FLAIR magnetic resonance.
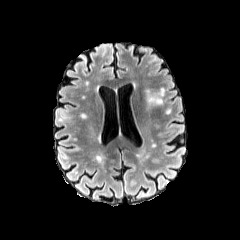
T1-weighted MR.
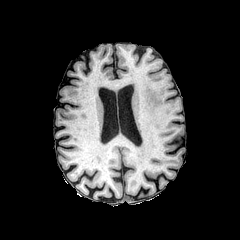
Post-contrast T1-weighted MR.
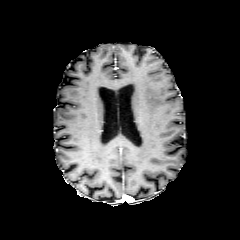
T2-weighted MRI.
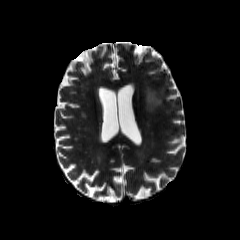
Head. Axial view.
The peritumoral edema lies within [x1=146, y1=88, x2=163, y2=108].